FLAIR magnetic resonance.
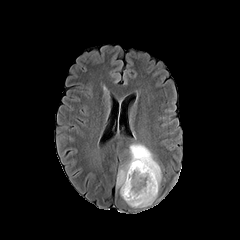
T1-weighted magnetic resonance.
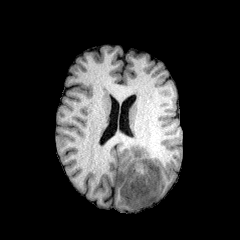
Post-contrast T1-weighted magnetic resonance.
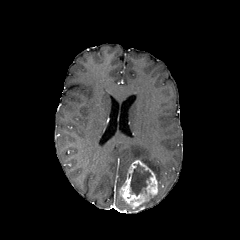
T2-weighted MR image.
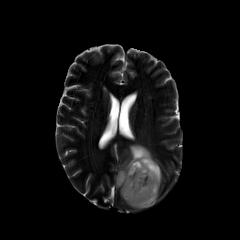
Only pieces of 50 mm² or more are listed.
The largest peritumoral edema region appears at bbox(116, 144, 162, 189). The largest necrotic tumor core region is at bbox(130, 163, 151, 195). The enhancing tumor is bounded by bbox(119, 160, 157, 209).